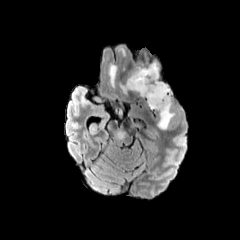
FLAIR MR.
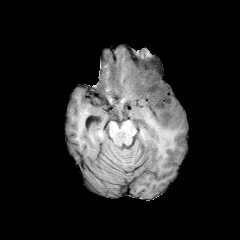
Same slice, T1-weighted MRI.
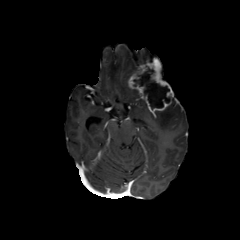
Post-contrast T1-weighted MR.
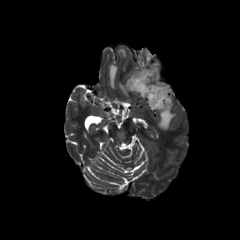
T2-weighted MR image.
Brain, Axial slice
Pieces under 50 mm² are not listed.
Findings:
* enhancing tumor: region(127, 59, 175, 112)
* peritumoral edema: region(118, 48, 125, 56); region(157, 100, 174, 130); region(109, 64, 117, 87); region(119, 62, 146, 94)
* necrotic tumor core: region(133, 69, 170, 109)